Slice index 78. Axial view. Image width 240 mm, 1.00 mm slice spacing.
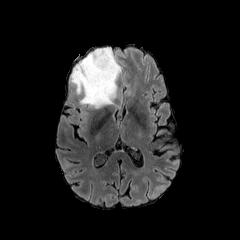
FLAIR MRI.
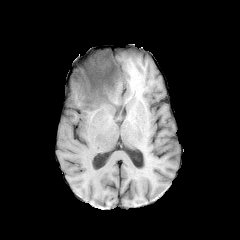
Same slice, T1-weighted MR image.
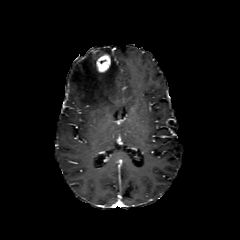
Post-contrast T1-weighted MR image of the same slice.
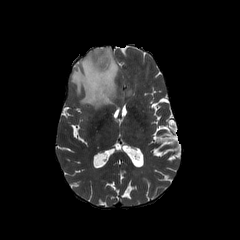
T2-weighted MRI.
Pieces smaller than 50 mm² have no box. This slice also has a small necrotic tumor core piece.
The enhancing tumor is located at [96, 54, 111, 72]. The largest peritumoral edema region lies within [70, 47, 121, 108].